FLAIR MR image.
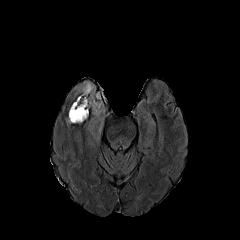
T1-weighted MR.
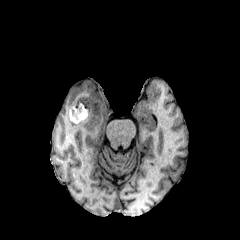
Post-contrast T1-weighted MR image.
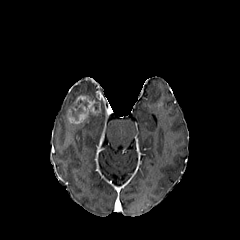
T2-weighted MR.
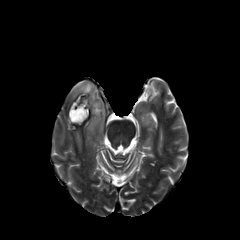
240x240. Axial slice.
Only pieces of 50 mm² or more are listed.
The 2 largest peritumoral edema regions are located at (left=74, top=81, right=104, bottom=113), (left=94, top=113, right=103, bottom=129). The largest necrotic tumor core region appears at (left=70, top=100, right=87, bottom=120). The largest enhancing tumor region is at (left=68, top=95, right=100, bottom=123).